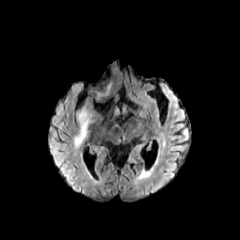
FLAIR MR.
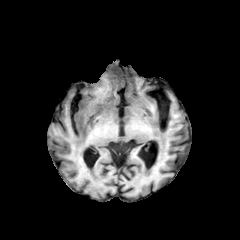
T1-weighted MR image of the same slice.
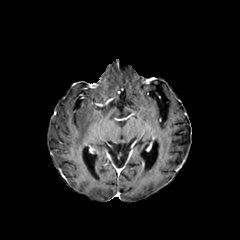
Post-contrast T1-weighted magnetic resonance of the same slice.
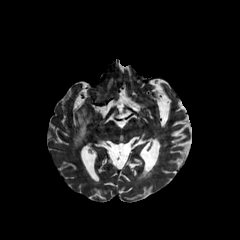
Same slice, T2-weighted magnetic resonance.
Head | Axial slice
peritumoral edema: (74, 108, 90, 147)